Axial plane, Slice 71 of 155, Image width 240 mm
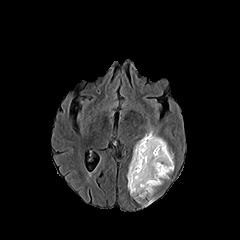
FLAIR MRI.
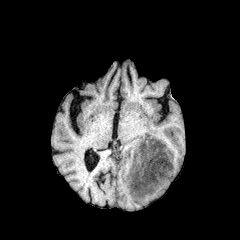
Same slice, T1-weighted magnetic resonance.
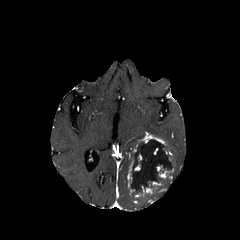
Post-contrast T1-weighted magnetic resonance of the same slice.
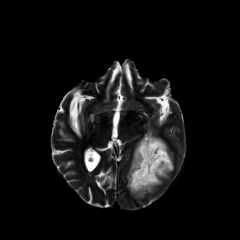
Same slice, T2-weighted magnetic resonance.
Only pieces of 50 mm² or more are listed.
enhancing tumor: (163, 148, 172, 162), (133, 133, 166, 152), (134, 165, 173, 203), (127, 159, 134, 194) | necrotic tumor core: (131, 139, 173, 194) | peritumoral edema: (147, 127, 160, 137)